FLAIR MR image.
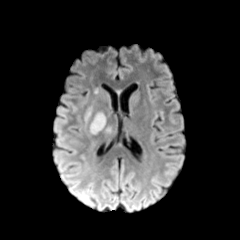
T1-weighted MRI.
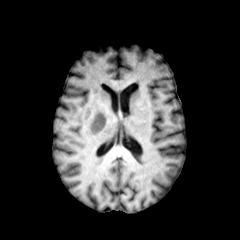
Post-contrast T1-weighted magnetic resonance.
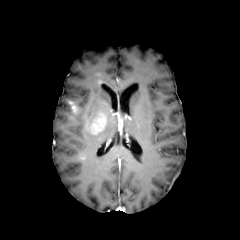
T2-weighted MRI.
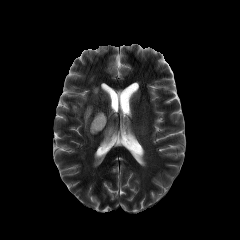
Axial view
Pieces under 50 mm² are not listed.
The largest enhancing tumor region is located at 89 113 106 133. The largest peritumoral edema region appears at 85 110 90 123.